FLAIR MR image.
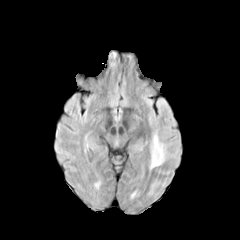
T1-weighted MRI.
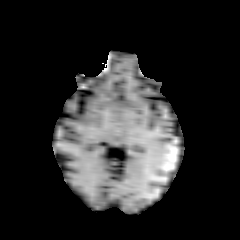
Post-contrast T1-weighted magnetic resonance.
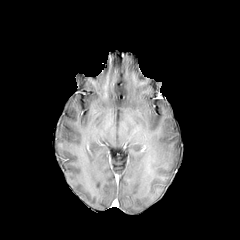
T2-weighted MR.
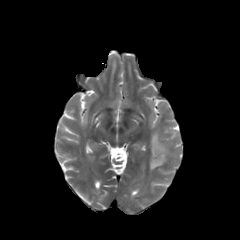
peritumoral edema at [150, 132, 167, 169]